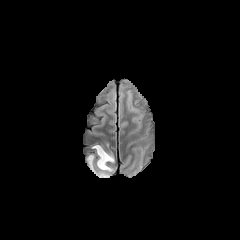
FLAIR MR.
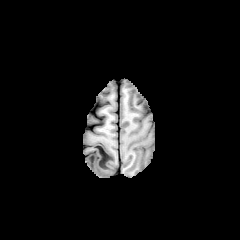
Same slice, T1-weighted MRI.
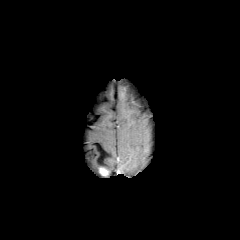
Post-contrast T1-weighted MR image.
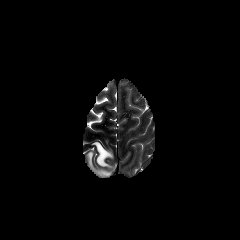
T2-weighted MR image of the same slice.
Axial plane; Image size 240x240
peritumoral_edema:
  - left=87, top=154, right=95, bottom=172
  - left=93, top=144, right=113, bottom=177
enhancing_tumor:
  - left=99, top=168, right=107, bottom=175